Axial slice. Slice 58/155. Brain.
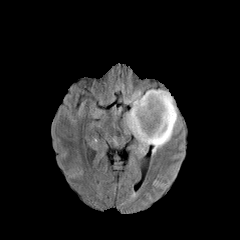
FLAIR MR.
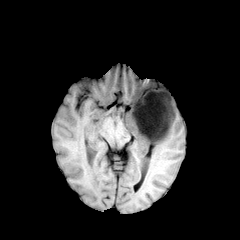
T1-weighted magnetic resonance.
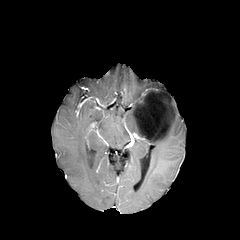
Post-contrast T1-weighted MR image of the same slice.
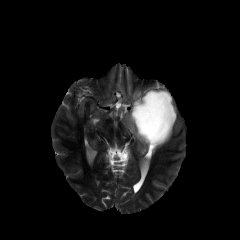
T2-weighted MR.
Findings:
* enhancing tumor: region(132, 90, 174, 142)
* necrotic tumor core: region(133, 92, 172, 140)
* peritumoral edema: region(126, 89, 177, 153)